240x240, Axial view, Head
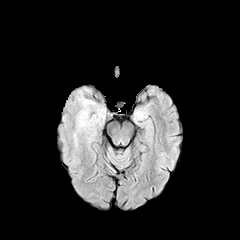
FLAIR MR image.
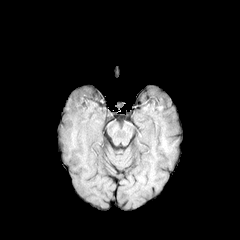
T1-weighted magnetic resonance.
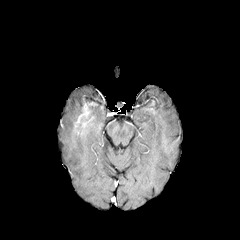
Post-contrast T1-weighted MR.
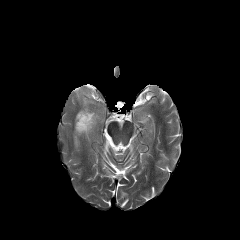
T2-weighted MR of the same slice.
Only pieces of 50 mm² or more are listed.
* peritumoral edema: box(76, 114, 93, 132)
* enhancing tumor: box(76, 107, 91, 128)